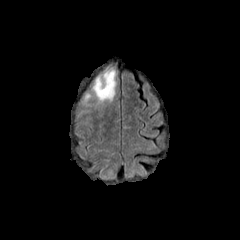
FLAIR MR.
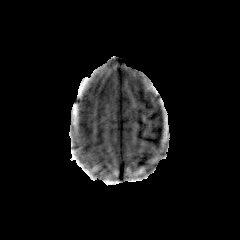
Same slice, T1-weighted magnetic resonance.
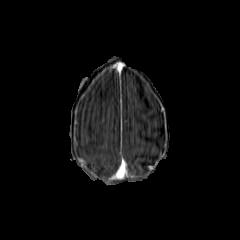
Post-contrast T1-weighted MR image.
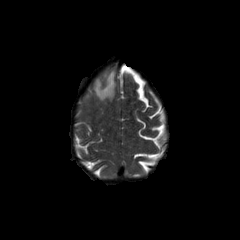
T2-weighted MR.
Image size 240x240.
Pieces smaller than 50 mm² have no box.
peritumoral edema at l=92, t=68, r=116, b=102